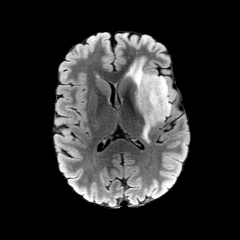
FLAIR magnetic resonance.
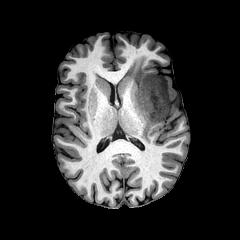
Same slice, T1-weighted magnetic resonance.
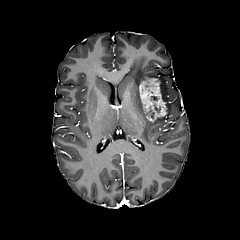
Post-contrast T1-weighted MRI.
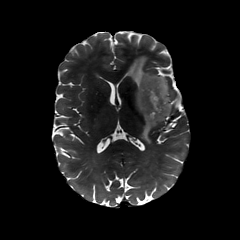
T2-weighted MR.
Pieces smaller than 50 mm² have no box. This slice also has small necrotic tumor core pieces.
The enhancing tumor is at (left=139, top=77, right=167, bottom=121). The peritumoral edema is bounded by (left=126, top=58, right=171, bottom=142).